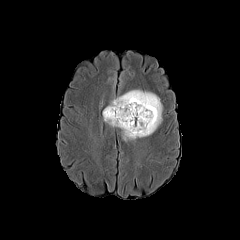
FLAIR MRI.
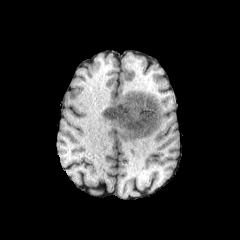
T1-weighted MRI of the same slice.
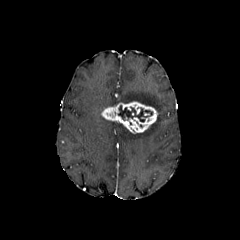
Post-contrast T1-weighted MR.
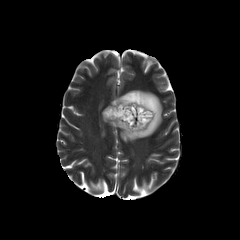
T2-weighted MR of the same slice.
Brain
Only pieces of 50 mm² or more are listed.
The largest necrotic tumor core region is at 118,105,152,122. The peritumoral edema is located at 104,90,162,140. The largest enhancing tumor region is at 102,101,158,133.